Axial view | Image width 240 mm | 240x240 | Brain
FLAIR MR image.
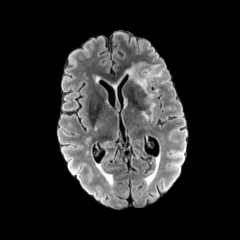
T1-weighted MRI.
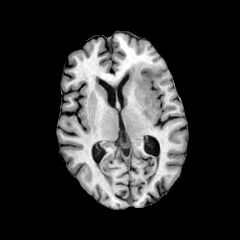
Post-contrast T1-weighted MRI.
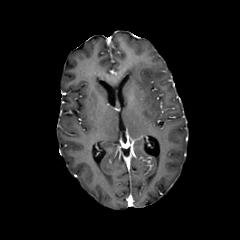
T2-weighted MR image.
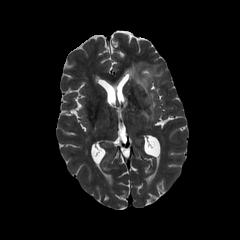
peritumoral edema = 125, 62, 162, 120